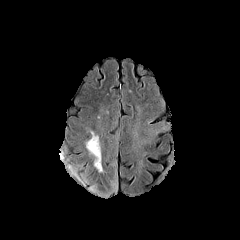
FLAIR MR.
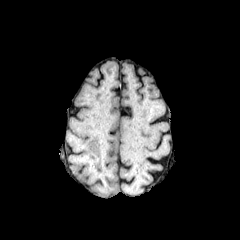
Same slice, T1-weighted MRI.
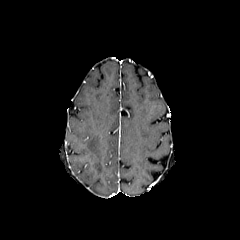
Post-contrast T1-weighted MR.
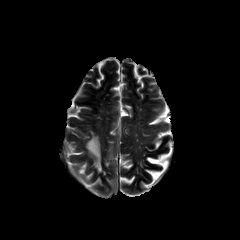
T2-weighted MR of the same slice.
Image size 240x240; Axial plane
Findings:
- peritumoral edema: box=[86, 131, 101, 171]